FLAIR MR image.
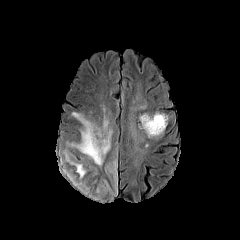
T1-weighted MRI.
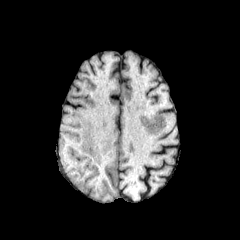
Post-contrast T1-weighted MR.
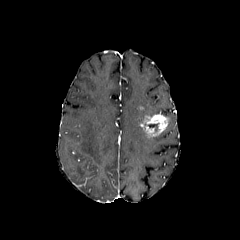
T2-weighted magnetic resonance.
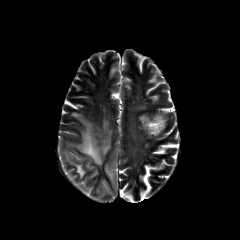
Head; Axial view
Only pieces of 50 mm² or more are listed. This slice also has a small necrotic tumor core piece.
The enhancing tumor is bounded by 140:113:168:138. The 3 largest peritumoral edema regions appear at 67:159:117:196, 65:153:86:177, 70:113:111:165.